Axial slice. Brain.
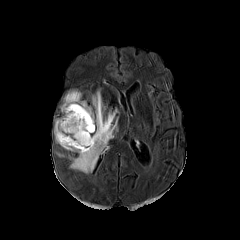
FLAIR MR image.
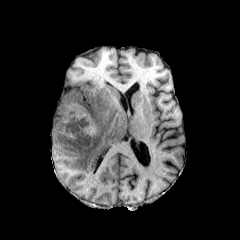
Same slice, T1-weighted MRI.
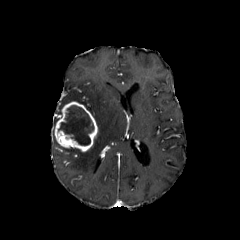
Same slice, post-contrast T1-weighted MRI.
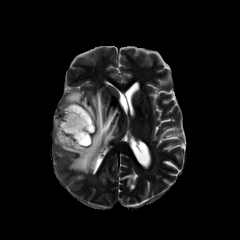
T2-weighted magnetic resonance of the same slice.
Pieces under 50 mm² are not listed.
enhancing tumor: <box>54,101,97,152</box> | necrotic tumor core: <box>58,105,93,145</box> | peritumoral edema: <box>70,90,118,173</box>, <box>60,91,86,108</box>